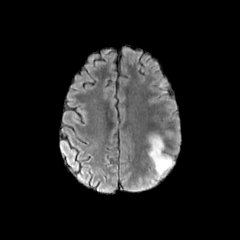
FLAIR MR.
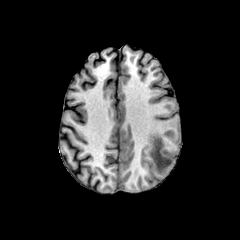
T1-weighted MR image of the same slice.
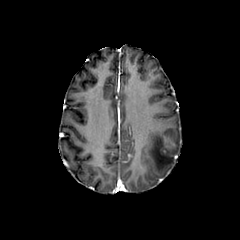
Post-contrast T1-weighted MRI.
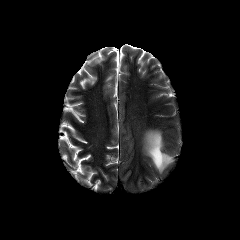
T2-weighted MR image.
240x240 px; Axial slice; Head
{"peritumoral_edema": ["x1=148, y1=134, x2=173, y2=174"]}